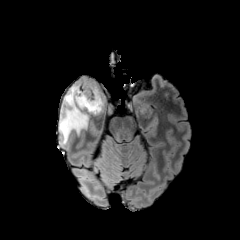
FLAIR MR.
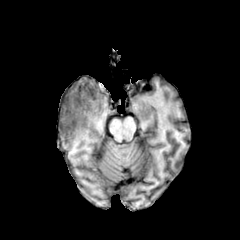
T1-weighted MR image of the same slice.
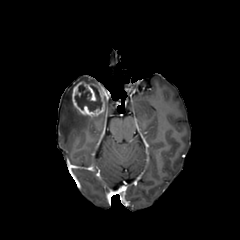
Post-contrast T1-weighted MR image.
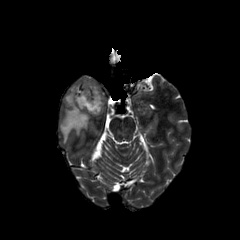
T2-weighted magnetic resonance.
Axial view.
<segmentation>
  <necrotic_tumor_core>bbox(75, 84, 102, 111)</necrotic_tumor_core>
  <enhancing_tumor>bbox(71, 82, 105, 116)</enhancing_tumor>
  <peritumoral_edema>bbox(59, 79, 93, 140)</peritumoral_edema>
</segmentation>